FLAIR MRI.
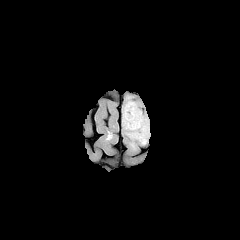
T1-weighted MRI.
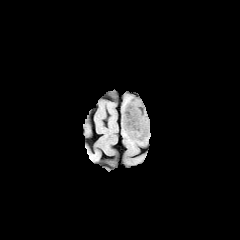
Post-contrast T1-weighted MR.
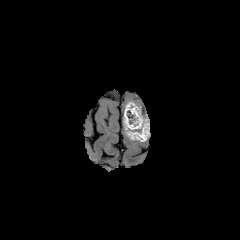
T2-weighted magnetic resonance.
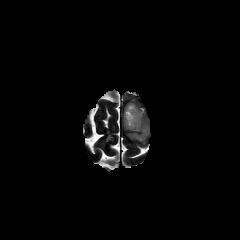
Brain
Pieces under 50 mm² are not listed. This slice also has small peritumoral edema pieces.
<segmentation>
  <necrotic_tumor_core>rect(127, 110, 135, 124)</necrotic_tumor_core>
  <enhancing_tumor>rect(123, 102, 149, 141)</enhancing_tumor>
</segmentation>